Slice 87 of 155.
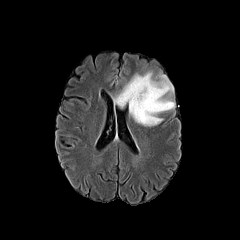
FLAIR magnetic resonance.
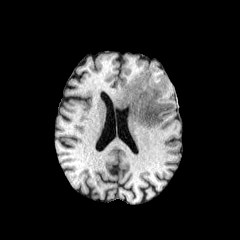
T1-weighted magnetic resonance.
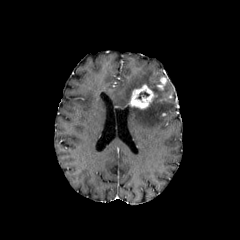
Post-contrast T1-weighted MR of the same slice.
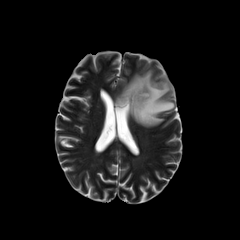
T2-weighted magnetic resonance.
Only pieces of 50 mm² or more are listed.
{"peritumoral_edema": ["115, 71, 174, 126"], "necrotic_tumor_core": ["137, 91, 149, 99"], "enhancing_tumor": ["129, 84, 156, 109", "156, 77, 166, 89"]}